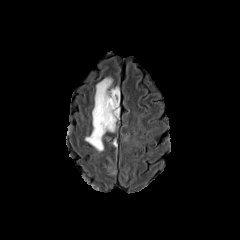
FLAIR MR.
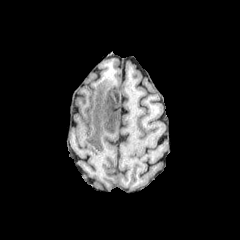
T1-weighted MR image of the same slice.
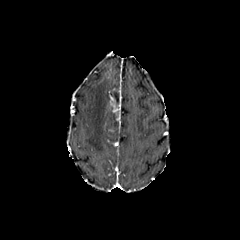
Post-contrast T1-weighted MR.
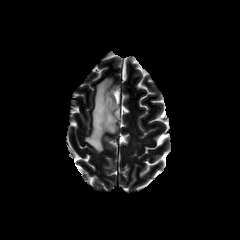
T2-weighted MRI of the same slice.
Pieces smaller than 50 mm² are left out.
The largest enhancing tumor region appears at 106:95:120:120. The largest necrotic tumor core region is located at 106:111:115:130. The largest peritumoral edema region lies within 85:78:116:151.